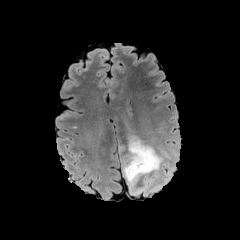
FLAIR MR image.
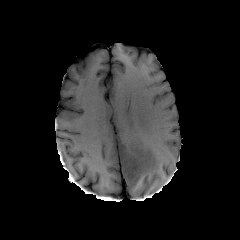
T1-weighted MR.
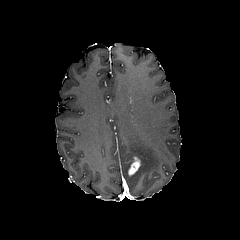
Post-contrast T1-weighted MRI of the same slice.
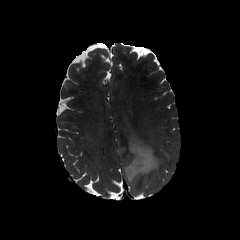
Same slice, T2-weighted MR image.
240x240 | Brain
enhancing tumor: bounding box (128, 156, 140, 176)
peritumoral edema: bounding box (119, 136, 166, 195)